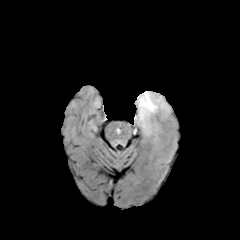
FLAIR MRI.
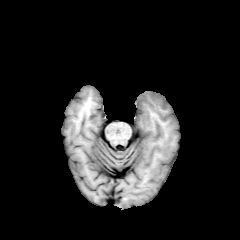
T1-weighted MRI.
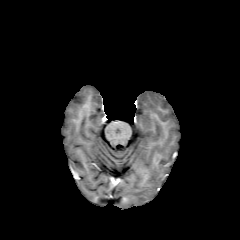
Same slice, post-contrast T1-weighted MR image.
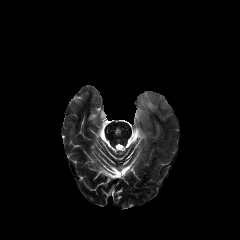
T2-weighted magnetic resonance.
240x240 px
The peritumoral edema is located at (136,91,170,133).